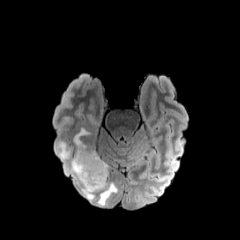
FLAIR MRI.
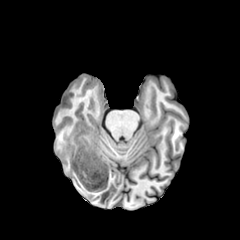
T1-weighted magnetic resonance.
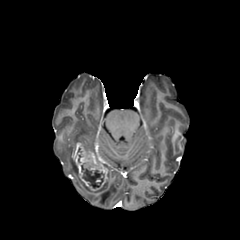
Same slice, post-contrast T1-weighted magnetic resonance.
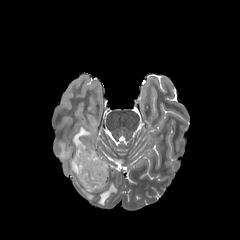
T2-weighted MRI of the same slice.
Head. 240x240.
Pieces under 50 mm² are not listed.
peritumoral edema — box(55, 127, 117, 205)
enhancing tumor — box(73, 143, 107, 190)
necrotic tumor core — box(81, 163, 104, 188)